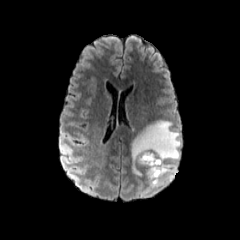
FLAIR MR.
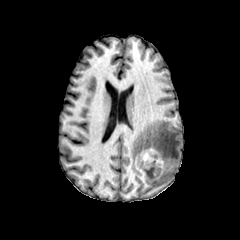
Same slice, T1-weighted MR.
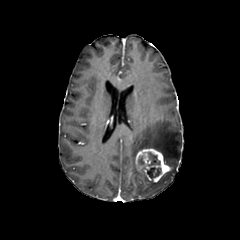
Same slice, post-contrast T1-weighted magnetic resonance.
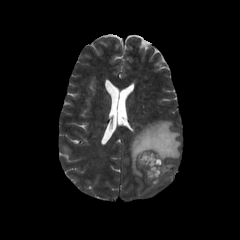
T2-weighted MR image of the same slice.
Axial slice; Image size 240x240
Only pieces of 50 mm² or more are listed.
necrotic tumor core: {"x1": 147, "y1": 167, "x2": 161, "y2": 178}, {"x1": 148, "y1": 152, "x2": 160, "y2": 165} | peritumoral edema: {"x1": 131, "y1": 120, "x2": 181, "y2": 192} | enhancing tumor: {"x1": 135, "y1": 147, "x2": 170, "y2": 182}